240x240 px | Slice index 39
FLAIR magnetic resonance.
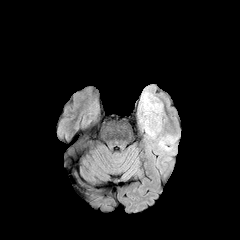
T1-weighted magnetic resonance.
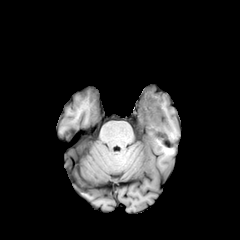
Post-contrast T1-weighted MR image.
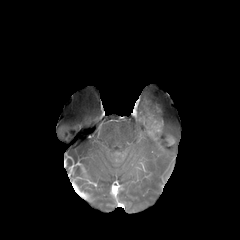
T2-weighted MR image.
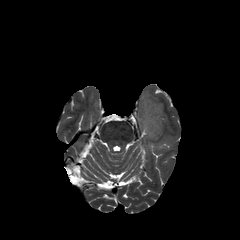
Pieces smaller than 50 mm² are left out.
enhancing tumor = bbox(139, 105, 163, 139)
peritumoral edema = bbox(137, 89, 167, 131); bbox(144, 132, 175, 147)